Image covers 240 mm x 240 mm; 240x240; Axial plane
FLAIR magnetic resonance.
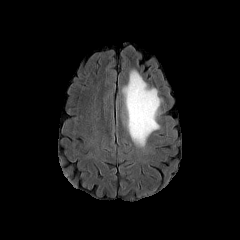
T1-weighted MR image.
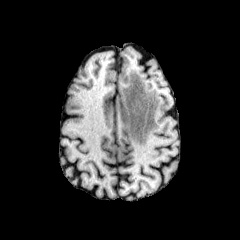
Post-contrast T1-weighted magnetic resonance.
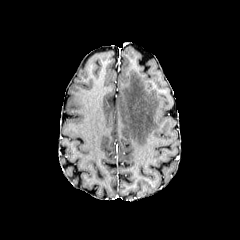
T2-weighted magnetic resonance.
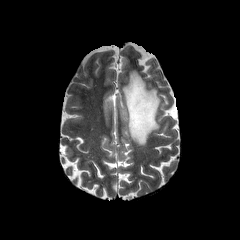
The peritumoral edema appears at 122 70 161 146.